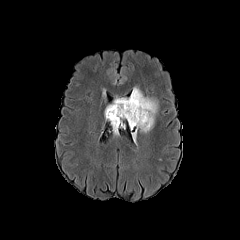
FLAIR magnetic resonance.
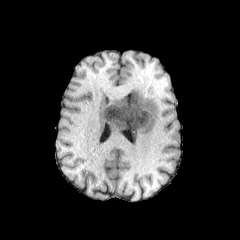
Same slice, T1-weighted MR.
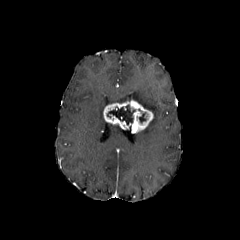
Post-contrast T1-weighted MR image.
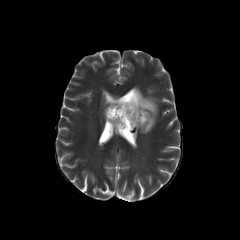
Same slice, T2-weighted magnetic resonance.
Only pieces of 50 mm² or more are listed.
Segmented structures:
• enhancing tumor: x1=103, y1=99, x2=153, y2=132
• peritumoral edema: x1=112, y1=125, x2=119, y2=134; x1=113, y1=87, x2=157, y2=132
• necrotic tumor core: x1=107, y1=105, x2=135, y2=124